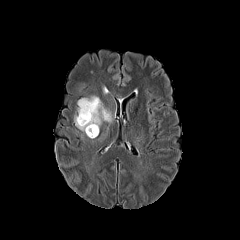
FLAIR MR.
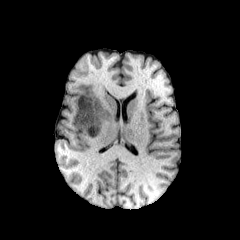
T1-weighted MR.
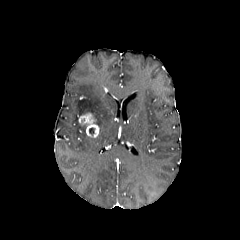
Post-contrast T1-weighted MR image of the same slice.
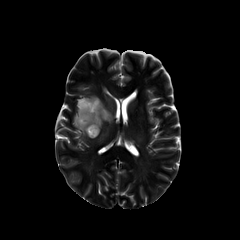
T2-weighted MR image.
240x240 px; Brain
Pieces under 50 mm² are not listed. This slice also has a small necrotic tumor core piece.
The enhancing tumor is at rect(78, 112, 99, 137). The 2 largest peritumoral edema regions appear at rect(77, 95, 112, 127); rect(74, 115, 85, 133).